FLAIR MR image.
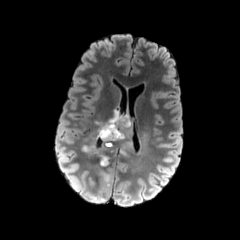
T1-weighted MR image.
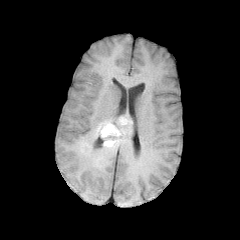
Post-contrast T1-weighted MRI.
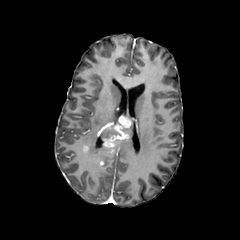
T2-weighted magnetic resonance.
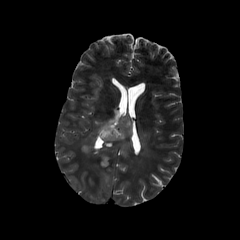
Axial slice.
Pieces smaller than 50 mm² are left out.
necrotic tumor core: {"x1": 100, "y1": 125, "x2": 121, "y2": 138} | enhancing tumor: {"x1": 97, "y1": 115, "x2": 131, "y2": 147} | peritumoral edema: {"x1": 104, "y1": 174, "x2": 111, "y2": 186}, {"x1": 81, "y1": 111, "x2": 148, "y2": 169}